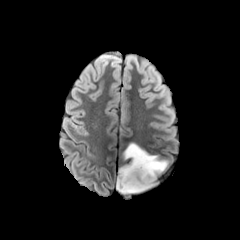
FLAIR magnetic resonance.
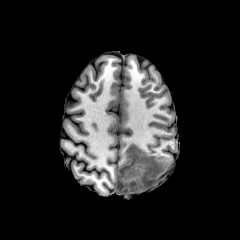
T1-weighted MR image of the same slice.
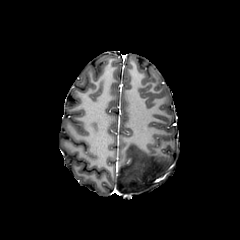
Post-contrast T1-weighted MRI of the same slice.
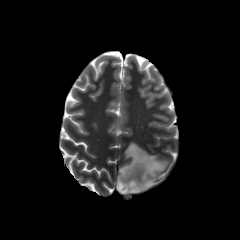
Same slice, T2-weighted MR image.
<segmentation>
  <peritumoral_edema>x1=116, y1=143, x2=168, y2=194</peritumoral_edema>
</segmentation>